Axial view. Slice 75/155.
FLAIR MR image.
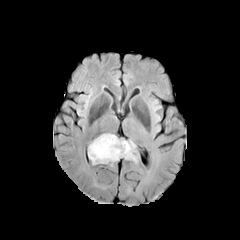
T1-weighted MR image.
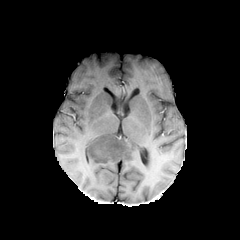
Post-contrast T1-weighted MR.
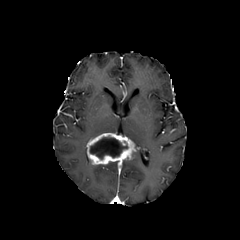
T2-weighted magnetic resonance.
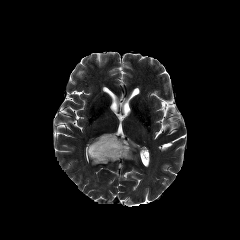
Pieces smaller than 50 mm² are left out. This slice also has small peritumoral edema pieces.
{"necrotic_tumor_core": ["(90,137,127,159)"], "enhancing_tumor": ["(86,133,135,164)"]}